240x240
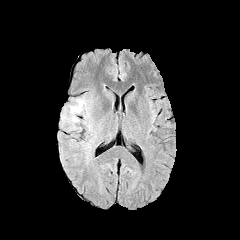
FLAIR MRI.
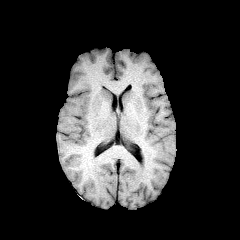
T1-weighted MR.
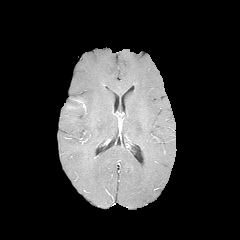
Post-contrast T1-weighted MR image.
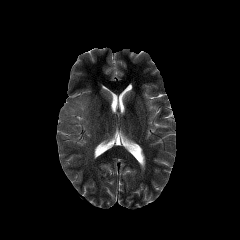
T2-weighted magnetic resonance.
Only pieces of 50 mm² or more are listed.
* peritumoral edema: left=61, top=96, right=91, bottom=131